FLAIR MRI.
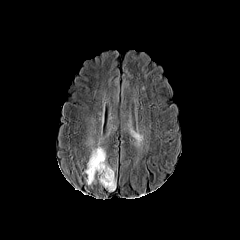
T1-weighted MRI.
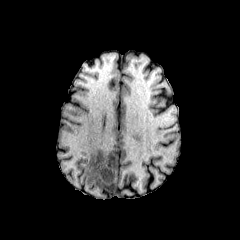
Post-contrast T1-weighted MR.
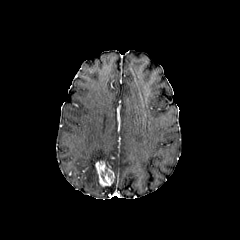
T2-weighted MRI.
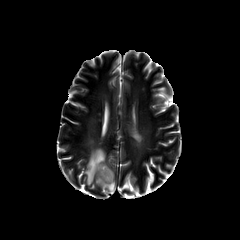
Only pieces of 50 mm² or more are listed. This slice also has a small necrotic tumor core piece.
enhancing tumor: x1=95 y1=161 x2=114 y2=186 | peritumoral edema: x1=85 y1=146 x2=108 y2=185, x1=105 y1=180 x2=115 y2=191, x1=131 y1=130 x2=142 y2=140